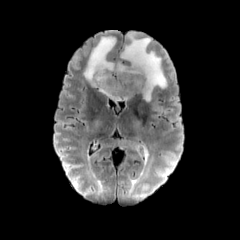
FLAIR MR.
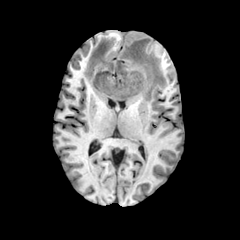
T1-weighted magnetic resonance.
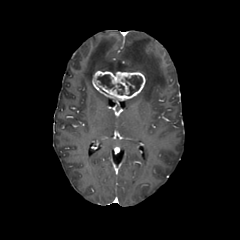
Post-contrast T1-weighted MR of the same slice.
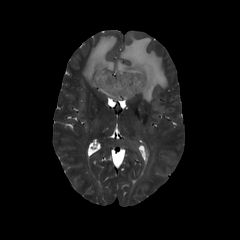
Same slice, T2-weighted MR image.
Image size 240x240. Brain.
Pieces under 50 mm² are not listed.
peritumoral edema = rect(129, 146, 153, 196); rect(83, 33, 174, 120)
necrotic tumor core = rect(117, 84, 124, 94); rect(125, 75, 142, 95); rect(97, 75, 114, 88)
enhancing tumor = rect(92, 71, 145, 100)